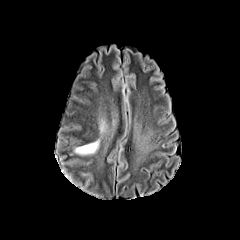
FLAIR MRI.
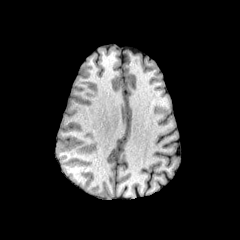
T1-weighted MR.
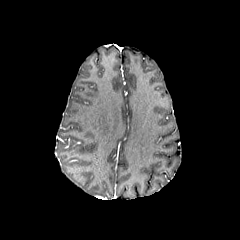
Same slice, post-contrast T1-weighted MR image.
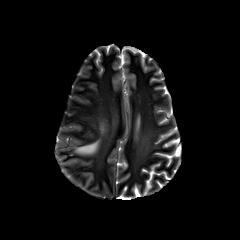
Same slice, T2-weighted MRI.
Axial slice | Brain
The peritumoral edema lies within bbox(76, 142, 97, 154).